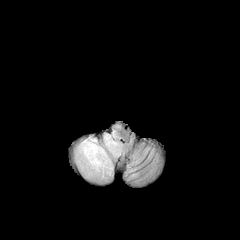
FLAIR MR.
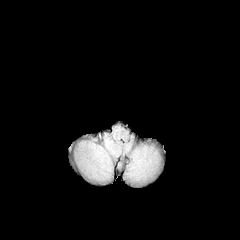
Same slice, T1-weighted magnetic resonance.
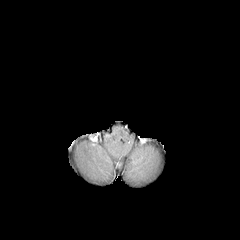
Post-contrast T1-weighted MR image.
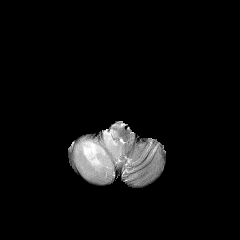
Same slice, T2-weighted MRI.
Head; Axial slice
{
  "peritumoral_edema": [
    "left=74, top=125, right=124, bottom=179"
  ]
}